Image width 240 mm. Brain. Slice 143/155. 240x240 px.
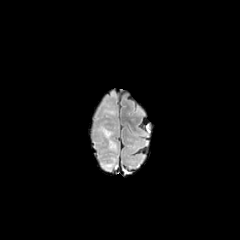
FLAIR MR.
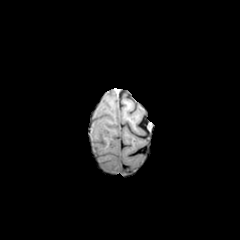
Same slice, T1-weighted MR.
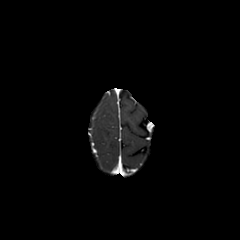
Post-contrast T1-weighted magnetic resonance.
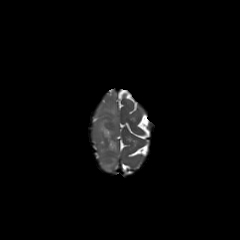
T2-weighted MRI.
3 peritumoral edema regions are bounded by <box>102,102,115,115</box>, <box>103,158,115,169</box>, <box>98,123,116,151</box>.